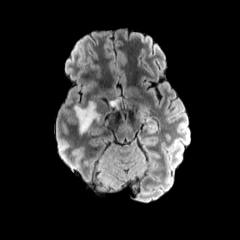
FLAIR MR.
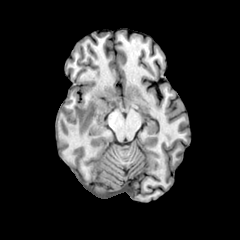
Same slice, T1-weighted MR.
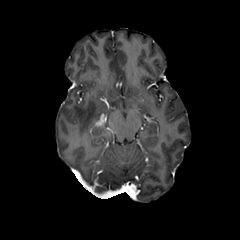
Post-contrast T1-weighted MR.
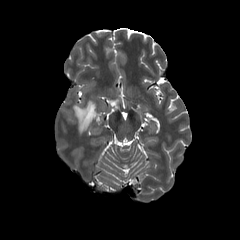
T2-weighted MR image.
Axial plane
<segmentation>
  <peritumoral_edema>rect(74, 101, 98, 133); rect(109, 97, 121, 107)</peritumoral_edema>
</segmentation>